240x240 px. Axial slice. Head. Image covers 240 mm x 240 mm.
FLAIR magnetic resonance.
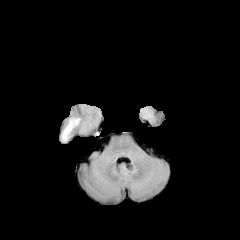
T1-weighted MR image.
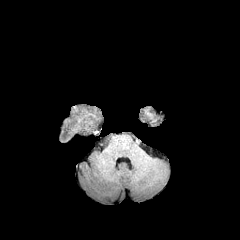
Post-contrast T1-weighted MR image.
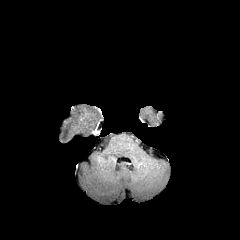
T2-weighted MR.
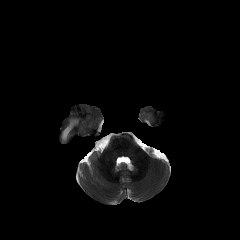
The peritumoral edema is at box=[61, 118, 79, 141].